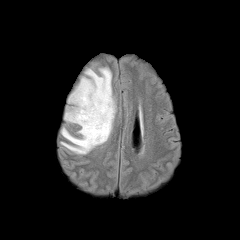
FLAIR MR.
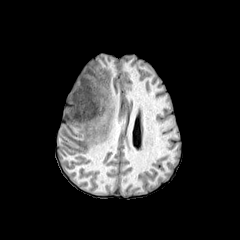
T1-weighted magnetic resonance.
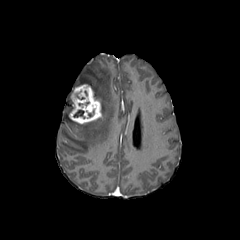
Post-contrast T1-weighted magnetic resonance of the same slice.
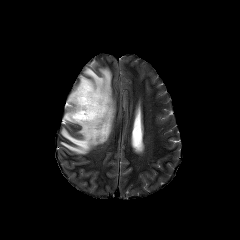
Same slice, T2-weighted magnetic resonance.
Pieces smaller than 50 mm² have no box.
peritumoral edema: rect(61, 67, 116, 154)
enhancing tumor: rect(69, 84, 102, 123)
necrotic tumor core: rect(73, 110, 84, 117)